Brain; Slice 42/155; Axial plane; Image covers 240 mm x 240 mm
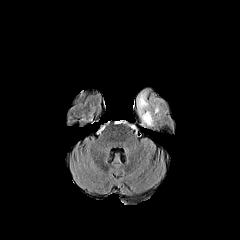
FLAIR MR.
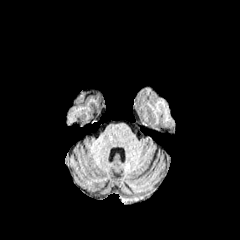
T1-weighted MRI.
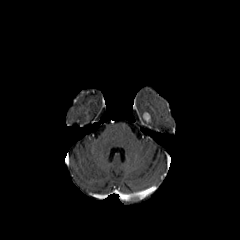
Post-contrast T1-weighted MR.
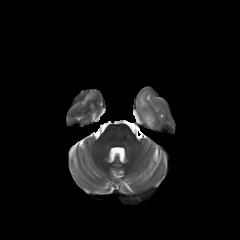
T2-weighted MR of the same slice.
The enhancing tumor is bounded by 143, 112, 150, 122. The peritumoral edema appears at 136, 91, 160, 126.